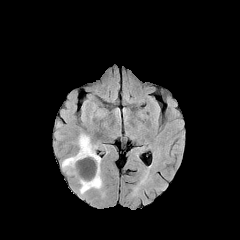
FLAIR MR image.
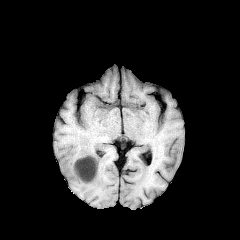
T1-weighted magnetic resonance of the same slice.
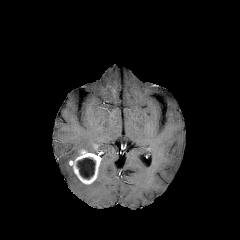
Post-contrast T1-weighted MRI.
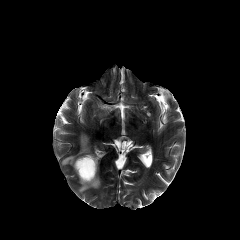
T2-weighted MR image of the same slice.
240x240
The necrotic tumor core is located at <bbox>76, 158, 95, 179</bbox>. The enhancing tumor lies within <bbox>69, 149, 101, 184</bbox>. 2 peritumoral edema regions are located at <bbox>61, 134, 95, 170</bbox>, <bbox>79, 167, 101, 194</bbox>.